Image size 240x240. Axial plane. Slice index 77. Brain.
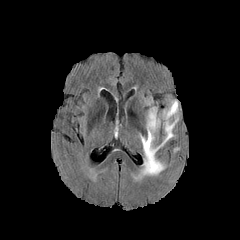
FLAIR magnetic resonance.
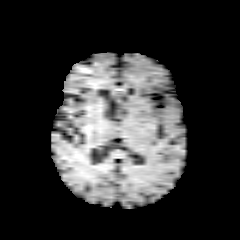
T1-weighted MR.
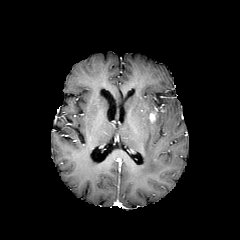
Post-contrast T1-weighted MR.
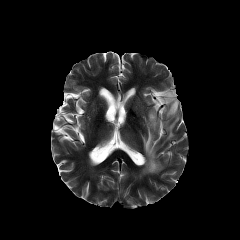
Same slice, T2-weighted MR.
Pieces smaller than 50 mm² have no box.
peritumoral edema = 141,100,178,174
enhancing tumor = 149,112,156,122